240x240 px, Head, Axial plane, Image width 240 mm
FLAIR MR.
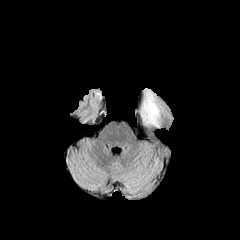
T1-weighted MR.
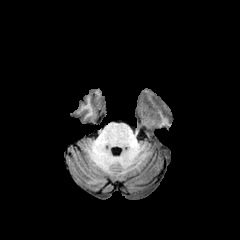
Post-contrast T1-weighted magnetic resonance.
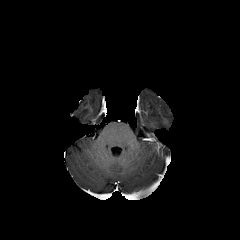
T2-weighted magnetic resonance.
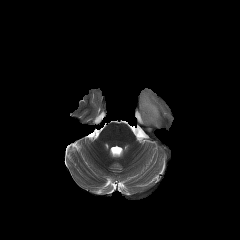
peritumoral edema: region(141, 90, 160, 127)